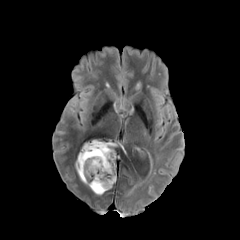
FLAIR MR.
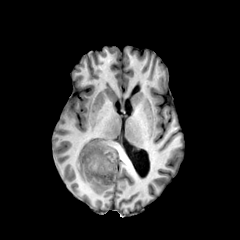
T1-weighted MRI.
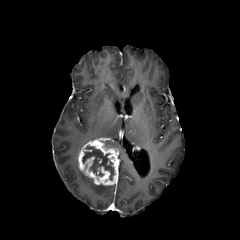
Post-contrast T1-weighted MRI of the same slice.
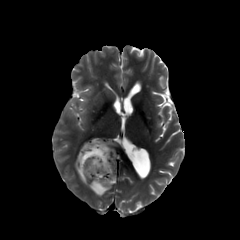
T2-weighted MR.
Axial plane
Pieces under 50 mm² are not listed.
The largest enhancing tumor region appears at box(78, 139, 117, 185). The largest necrotic tumor core region appears at box(82, 146, 114, 179). 2 peritumoral edema regions are located at box(75, 158, 111, 195); box(103, 141, 115, 147).